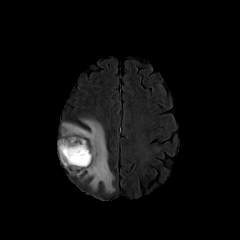
FLAIR MRI.
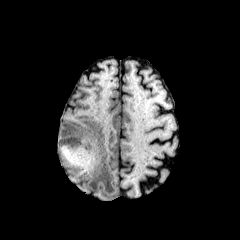
T1-weighted MRI of the same slice.
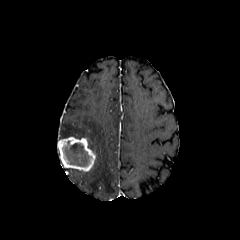
Post-contrast T1-weighted magnetic resonance.
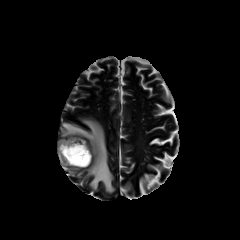
T2-weighted MR.
Brain, Axial view
The enhancing tumor lies within [57,136,95,171]. The necrotic tumor core appears at [64,143,89,166]. 2 peritumoral edema regions are bounded by [61,118,114,193], [70,169,83,176].